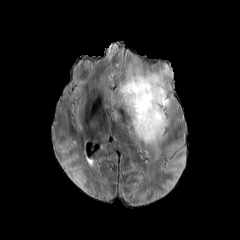
FLAIR MR.
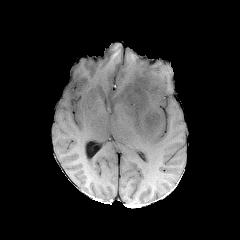
Same slice, T1-weighted MR.
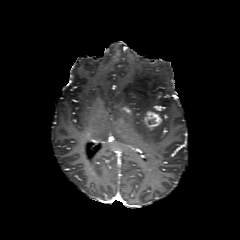
Post-contrast T1-weighted MR image.
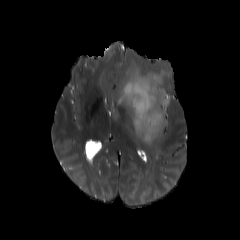
Same slice, T2-weighted MR.
Image size 240x240
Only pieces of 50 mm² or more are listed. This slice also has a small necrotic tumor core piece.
<segmentation>
  <peritumoral_edema>115, 66, 170, 146</peritumoral_edema>
  <enhancing_tumor>144, 110, 162, 130</enhancing_tumor>
</segmentation>